Slice 108 of 155 | Brain | Axial slice | 240x240
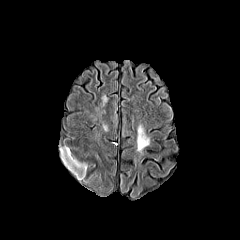
FLAIR MRI.
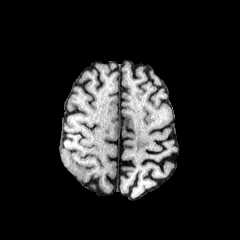
Same slice, T1-weighted MR.
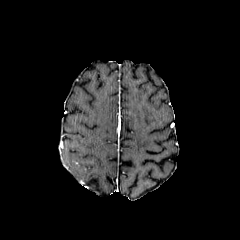
Post-contrast T1-weighted MR of the same slice.
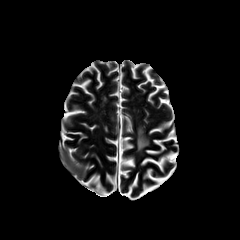
T2-weighted MR image.
peritumoral_edema:
  - (61,146,87,179)